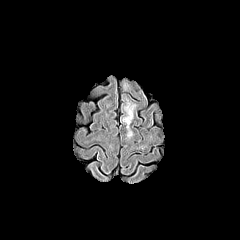
FLAIR MR image.
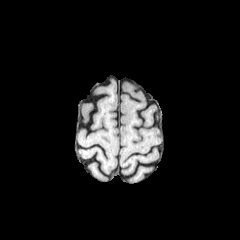
T1-weighted MR.
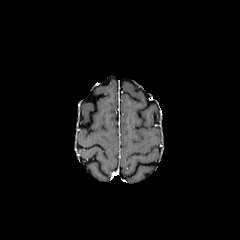
Same slice, post-contrast T1-weighted MR.
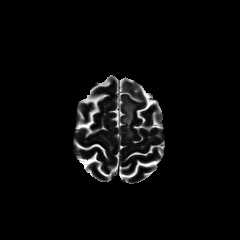
T2-weighted MRI.
Head
peritumoral edema: (x1=123, y1=97, x2=135, y2=137), (x1=122, y1=80, x2=128, y2=91)